Image covers 240 mm x 240 mm, 240x240
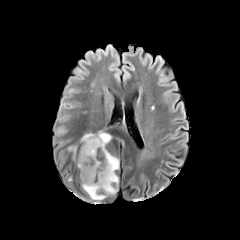
FLAIR MR image.
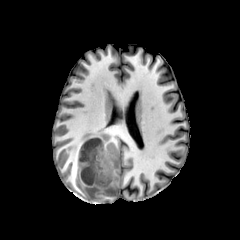
T1-weighted magnetic resonance of the same slice.
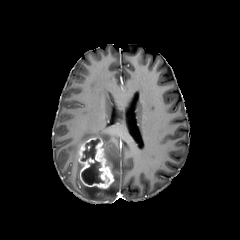
Post-contrast T1-weighted MR image of the same slice.
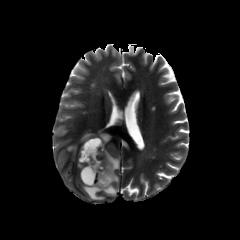
Same slice, T2-weighted MRI.
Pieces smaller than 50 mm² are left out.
necrotic_tumor_core:
  - [81, 139, 103, 184]
enhancing_tumor:
  - [78, 137, 113, 188]
peritumoral_edema:
  - [105, 149, 119, 184]
  - [67, 145, 77, 160]
  - [83, 184, 117, 200]
  - [80, 131, 111, 148]